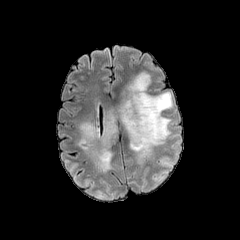
FLAIR MR.
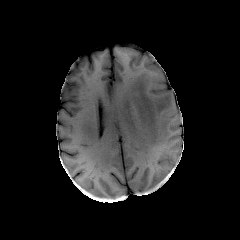
T1-weighted MR.
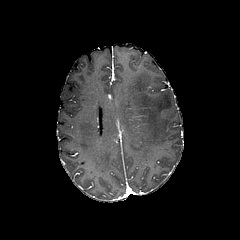
Same slice, post-contrast T1-weighted MR image.
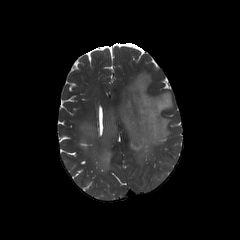
Same slice, T2-weighted MRI.
Axial slice | Brain
{
  "peritumoral_edema": [
    "x1=78, y1=107, x2=117, y2=172",
    "x1=119, y1=71, x2=173, y2=163"
  ]
}